240x240 px; Image width 240 mm, 1.00 mm slice spacing
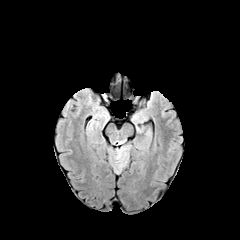
FLAIR magnetic resonance.
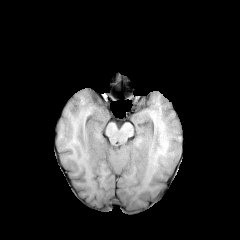
Same slice, T1-weighted magnetic resonance.
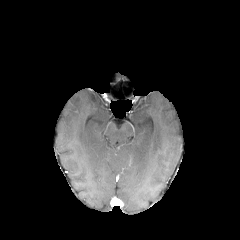
Post-contrast T1-weighted MR.
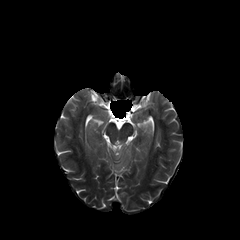
T2-weighted MR.
peritumoral edema: (115, 147, 128, 169)